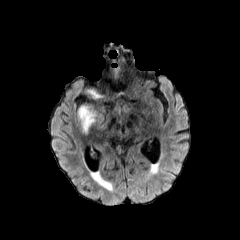
FLAIR MR.
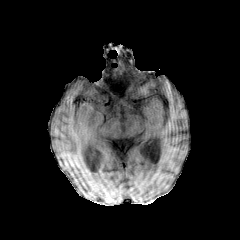
T1-weighted magnetic resonance.
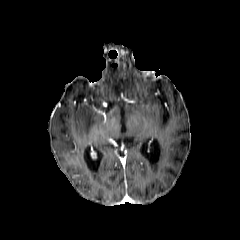
Post-contrast T1-weighted MR image of the same slice.
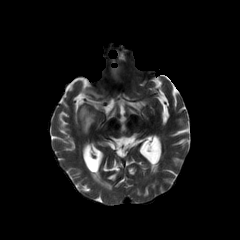
T2-weighted MRI.
240x240 px. Brain.
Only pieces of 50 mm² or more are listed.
The largest peritumoral edema region is located at region(78, 106, 95, 132).